FLAIR MR image.
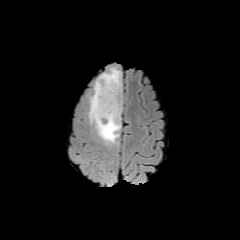
T1-weighted MRI.
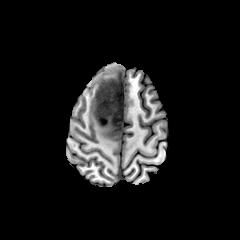
Post-contrast T1-weighted MRI.
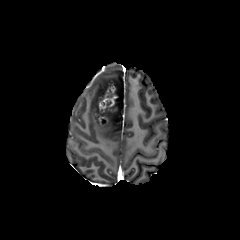
T2-weighted magnetic resonance.
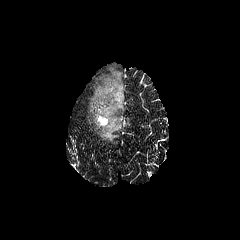
Brain, Axial plane
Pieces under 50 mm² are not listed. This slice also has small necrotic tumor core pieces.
* peritumoral edema: l=88, t=66, r=122, b=144
* enhancing tumor: l=99, t=116, r=107, b=125; l=99, t=86, r=117, b=113